FLAIR magnetic resonance.
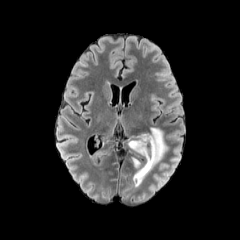
T1-weighted MR.
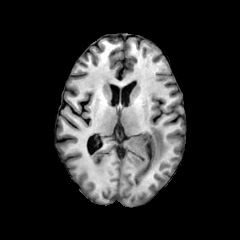
Post-contrast T1-weighted MRI.
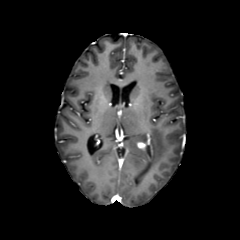
T2-weighted magnetic resonance.
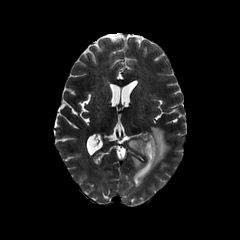
Brain
The enhancing tumor is bounded by box=[136, 141, 147, 149]. The peritumoral edema is at box=[126, 126, 167, 186].